FLAIR MRI.
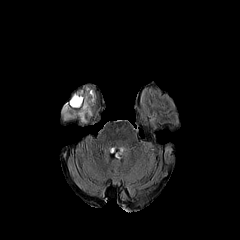
T1-weighted MR.
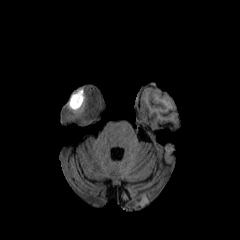
Post-contrast T1-weighted MR image.
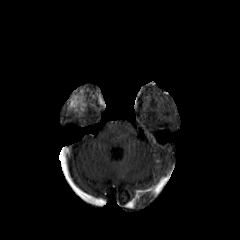
T2-weighted MR.
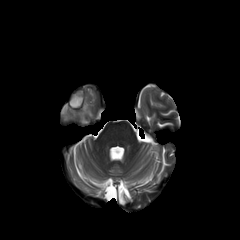
Axial view | Head
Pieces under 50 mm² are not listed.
{"necrotic_tumor_core": [{"x1": 71, "y1": 89, "x2": 91, "y2": 110}], "peritumoral_edema": [{"x1": 62, "y1": 103, "x2": 75, "y2": 119}], "enhancing_tumor": [{"x1": 73, "y1": 88, "x2": 97, "y2": 117}]}